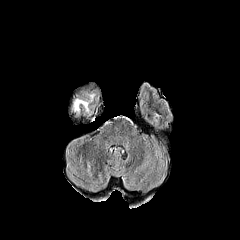
FLAIR magnetic resonance.
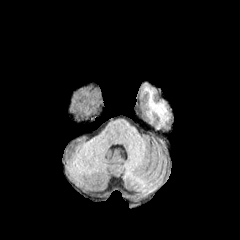
T1-weighted MR image.
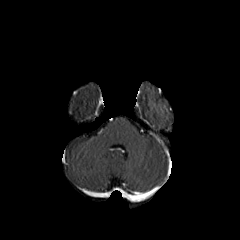
Post-contrast T1-weighted MR of the same slice.
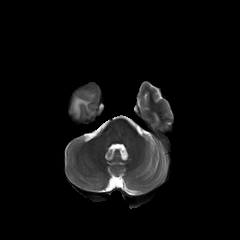
T2-weighted MR.
Brain, Axial plane, Image size 240x240
peritumoral edema: (73, 94, 94, 114)